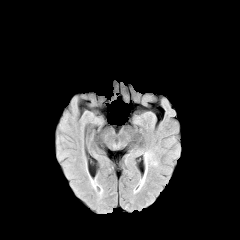
FLAIR MR.
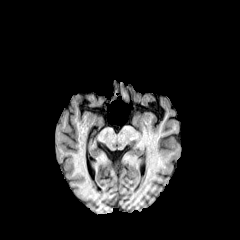
T1-weighted MR image.
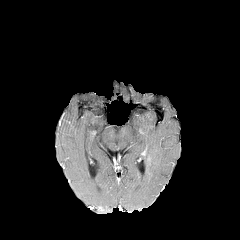
Post-contrast T1-weighted magnetic resonance of the same slice.
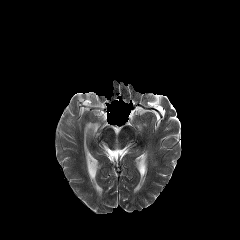
T2-weighted magnetic resonance.
Axial slice. Head.
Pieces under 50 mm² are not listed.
{"peritumoral_edema": ["left=140, top=153, right=151, bottom=188"]}